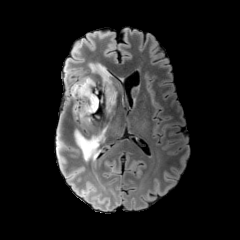
FLAIR magnetic resonance.
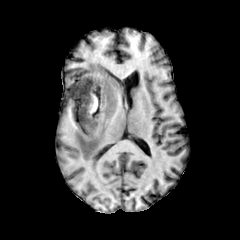
T1-weighted MR image.
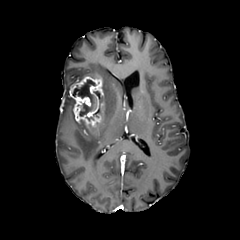
Post-contrast T1-weighted MR image of the same slice.
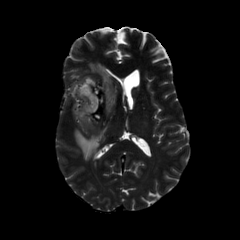
T2-weighted MR image.
Head
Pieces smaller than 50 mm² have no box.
necrotic tumor core = (x1=72, y1=79, x2=96, y2=116)
peritumoral edema = (x1=74, y1=63, x2=117, y2=160)
enhancing tumor = (x1=69, y1=74, x2=105, y2=129)